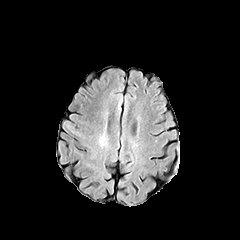
FLAIR MR.
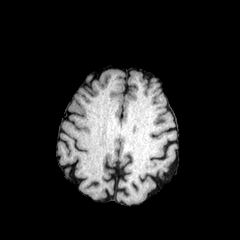
T1-weighted MR image of the same slice.
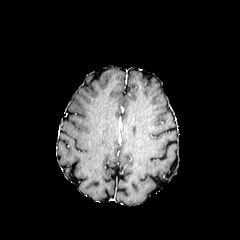
Post-contrast T1-weighted MR.
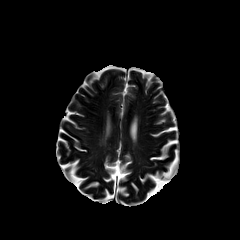
T2-weighted MR.
Axial plane | Brain
peritumoral edema: [99,135,106,145]